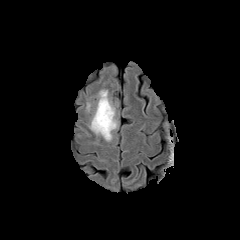
FLAIR MRI.
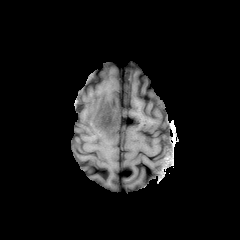
Same slice, T1-weighted magnetic resonance.
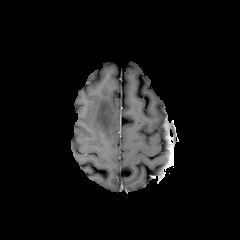
Post-contrast T1-weighted MR of the same slice.
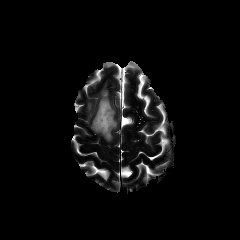
T2-weighted MRI.
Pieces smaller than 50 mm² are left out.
peritumoral edema at {"x1": 89, "y1": 89, "x2": 118, "y2": 141}